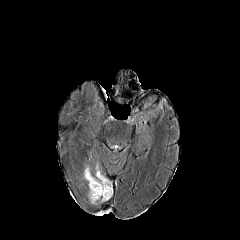
FLAIR MR image.
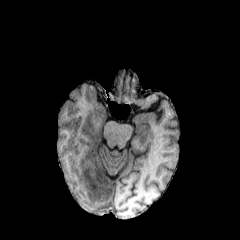
Same slice, T1-weighted MR.
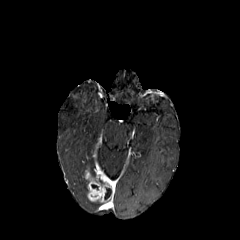
Post-contrast T1-weighted MRI.
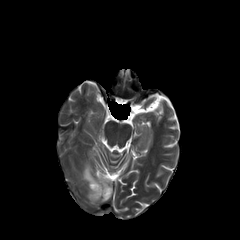
T2-weighted magnetic resonance of the same slice.
Brain, 240x240 px
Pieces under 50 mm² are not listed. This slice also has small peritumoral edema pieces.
necrotic tumor core — x1=104 y1=188 x2=111 y2=199
enhancing tumor — x1=84 y1=164 x2=113 y2=202